Image width 240 mm
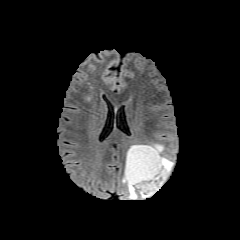
FLAIR MRI.
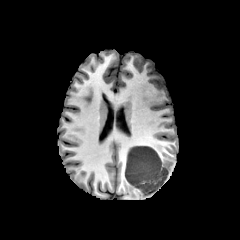
Same slice, T1-weighted MRI.
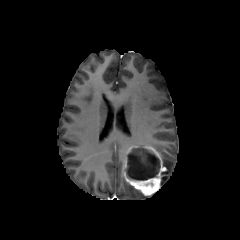
Post-contrast T1-weighted MRI.
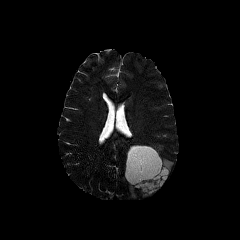
T2-weighted magnetic resonance.
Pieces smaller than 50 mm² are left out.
• necrotic tumor core: box(127, 146, 159, 180)
• enhancing tumor: box(124, 146, 166, 195)
• peritumoral edema: box(131, 144, 163, 153); box(161, 157, 173, 186); box(122, 177, 137, 199)